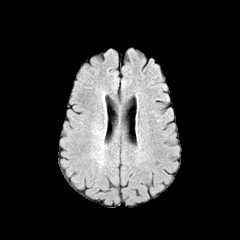
FLAIR magnetic resonance.
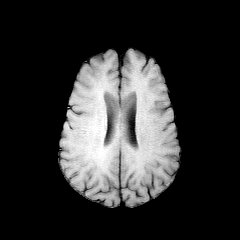
Same slice, T1-weighted MRI.
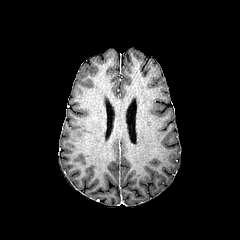
Post-contrast T1-weighted MR of the same slice.
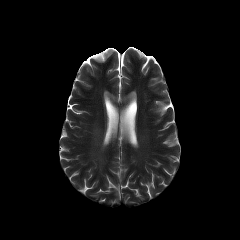
Same slice, T2-weighted MRI.
Axial plane
The peritumoral edema is at (x1=89, y1=121, x2=105, y2=141).